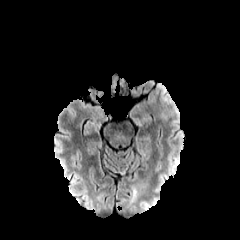
FLAIR MR image.
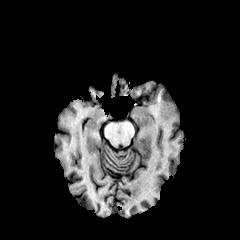
Same slice, T1-weighted magnetic resonance.
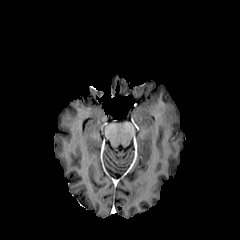
Same slice, post-contrast T1-weighted magnetic resonance.
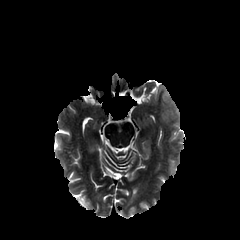
T2-weighted MR image.
Head; 240x240; Axial view
peritumoral edema: left=161, top=91, right=179, bottom=126